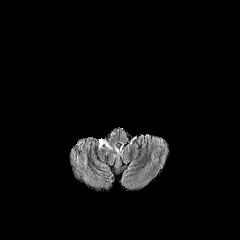
FLAIR MR.
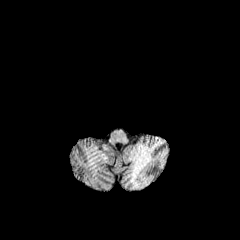
Same slice, T1-weighted MR.
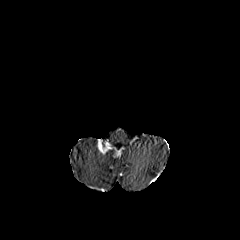
Post-contrast T1-weighted MR image of the same slice.
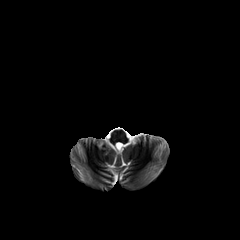
Same slice, T2-weighted MRI.
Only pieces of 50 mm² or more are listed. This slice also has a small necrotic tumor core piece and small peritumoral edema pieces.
enhancing tumor: bounding box left=97, top=139, right=122, bottom=156